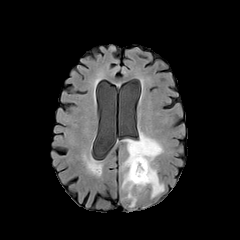
FLAIR MR image.
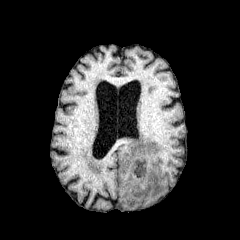
T1-weighted MRI.
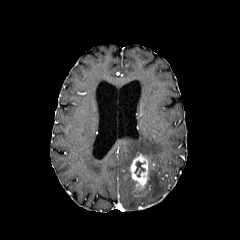
Same slice, post-contrast T1-weighted MR.
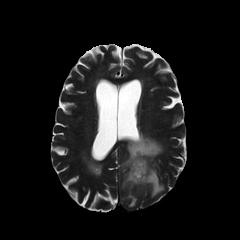
T2-weighted MR of the same slice.
necrotic tumor core = bbox=[135, 161, 144, 176]
peritumoral edema = bbox=[122, 133, 164, 207]
enhancing tumor = bbox=[130, 153, 148, 190]